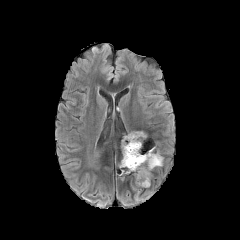
FLAIR MR image.
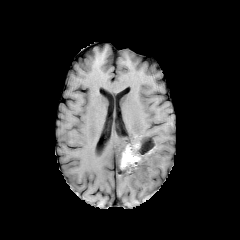
T1-weighted MR image of the same slice.
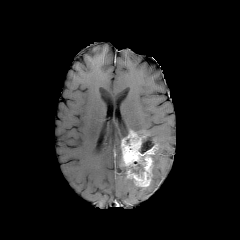
Post-contrast T1-weighted MR.
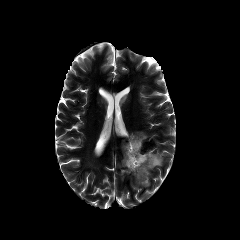
T2-weighted MR image.
Head.
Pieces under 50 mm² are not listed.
peritumoral_edema:
  - bbox=[152, 153, 162, 168]
enhancing_tumor:
  - bbox=[121, 131, 156, 187]
necrotic_tumor_core:
  - bbox=[140, 138, 153, 153]
  - bbox=[129, 161, 143, 173]